240x240. Slice 83/155. Brain.
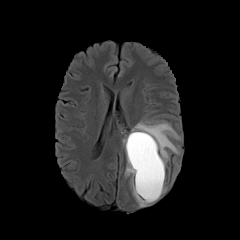
FLAIR MR image.
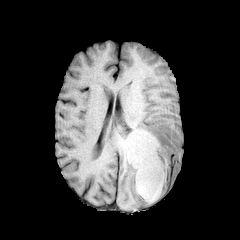
Same slice, T1-weighted MR.
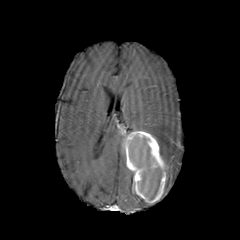
Post-contrast T1-weighted MR.
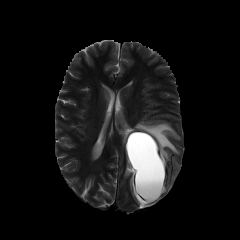
T2-weighted magnetic resonance of the same slice.
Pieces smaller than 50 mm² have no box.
The necrotic tumor core is located at (x1=126, y1=135, x2=161, y2=198). The enhancing tumor is at (x1=124, y1=131, x2=166, y2=203). The 2 largest peritumoral edema regions appear at (x1=125, y1=166, x2=150, y2=207), (x1=131, y1=121, x2=180, y2=172).